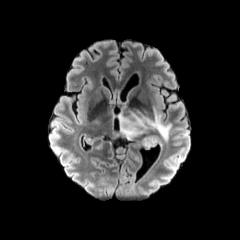
FLAIR magnetic resonance.
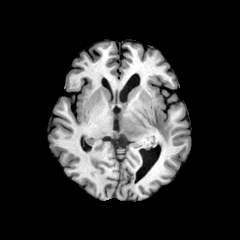
T1-weighted MRI.
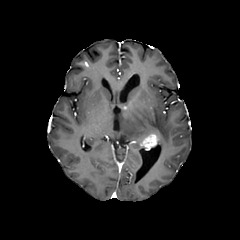
Post-contrast T1-weighted MR.
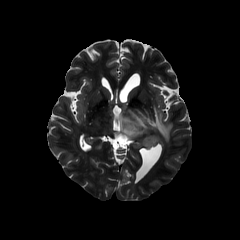
T2-weighted MRI of the same slice.
Axial view, Image size 240x240, Head
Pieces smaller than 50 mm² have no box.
{"enhancing_tumor": ["x1=140, y1=134, x2=158, y2=149"], "peritumoral_edema": ["x1=117, y1=106, x2=171, y2=142"]}